Slice index 85. Axial view. Brain. Image width 240 mm, 1.00 mm slice spacing.
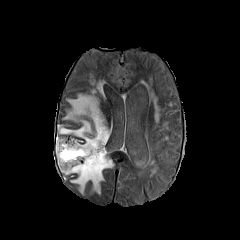
FLAIR magnetic resonance.
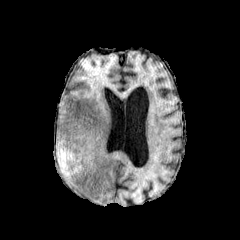
T1-weighted MR.
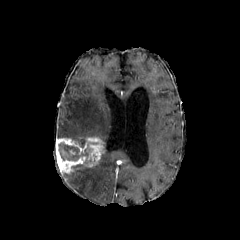
Post-contrast T1-weighted magnetic resonance of the same slice.
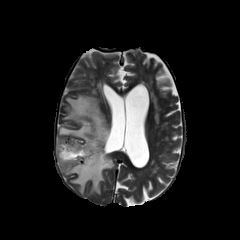
T2-weighted magnetic resonance.
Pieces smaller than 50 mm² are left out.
necrotic_tumor_core:
  - <box>59,143,88,160</box>
peritumoral_edema:
  - <box>65,152,113,193</box>
  - <box>58,94,109,145</box>
enhancing_tumor:
  - <box>55,136,104,172</box>